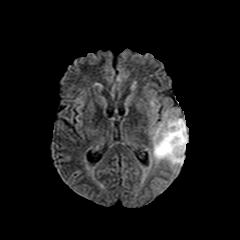
FLAIR MRI.
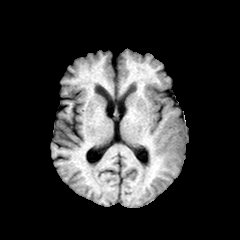
T1-weighted MR.
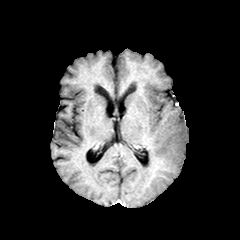
Post-contrast T1-weighted magnetic resonance.
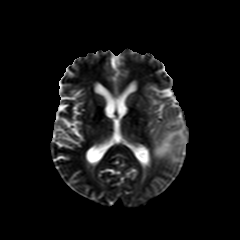
T2-weighted MRI of the same slice.
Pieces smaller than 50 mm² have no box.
<segmentation>
  <peritumoral_edema>left=150, top=110, right=188, bottom=166</peritumoral_edema>
</segmentation>